FLAIR magnetic resonance.
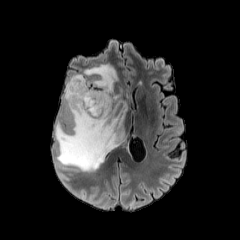
T1-weighted MR.
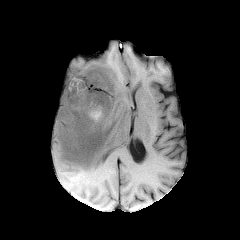
Post-contrast T1-weighted magnetic resonance.
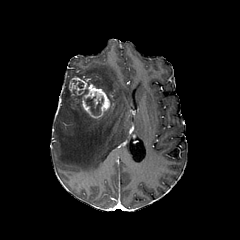
T2-weighted MR image.
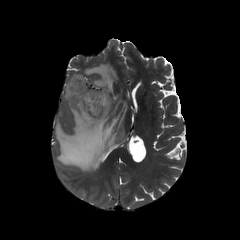
Image size 240x240. Axial plane.
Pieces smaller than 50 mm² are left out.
necrotic tumor core = box(73, 80, 83, 88); box(85, 96, 101, 115)
peritumoral edema = box(55, 64, 127, 171)
enhancing tumor = box(69, 76, 110, 118)